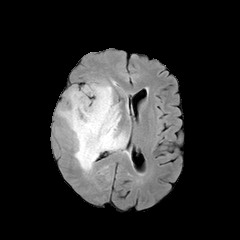
FLAIR magnetic resonance.
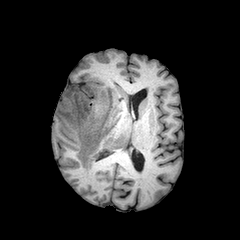
T1-weighted MR image.
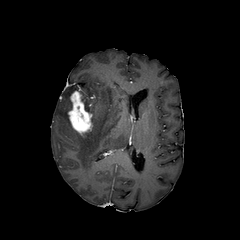
Post-contrast T1-weighted MRI.
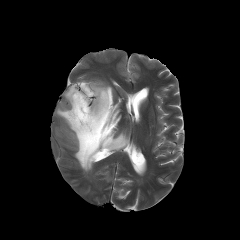
Same slice, T2-weighted magnetic resonance.
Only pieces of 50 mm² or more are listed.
peritumoral_edema:
  - [57,82,128,172]
enhancing_tumor:
  - [68,89,92,134]